Head; Axial plane
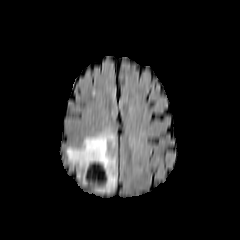
FLAIR MRI.
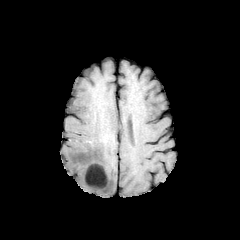
Same slice, T1-weighted MR image.
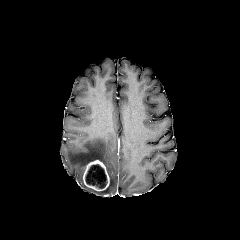
Post-contrast T1-weighted MRI.
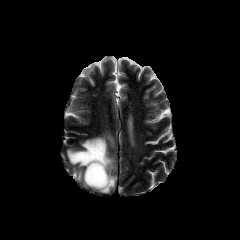
T2-weighted MR image of the same slice.
enhancing tumor: l=83, t=160, r=109, b=191
peritumoral edema: l=66, t=132, r=116, b=193
necrotic tumor core: l=85, t=164, r=106, b=188